240x240 px, Axial plane, Head
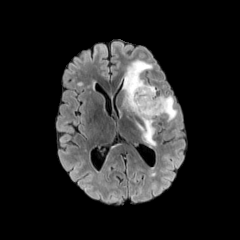
FLAIR MRI.
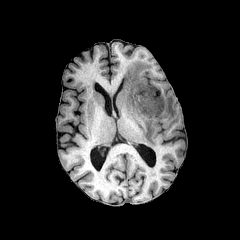
T1-weighted MR of the same slice.
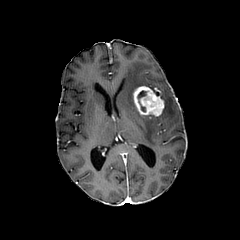
Post-contrast T1-weighted MRI.
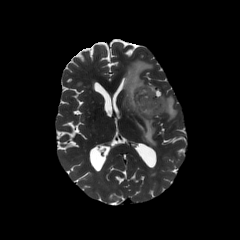
Same slice, T2-weighted MR.
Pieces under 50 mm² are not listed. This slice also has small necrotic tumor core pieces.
enhancing tumor at bbox=[133, 86, 164, 116]
peritumoral edema at bbox=[161, 95, 177, 121]; bbox=[123, 60, 156, 146]